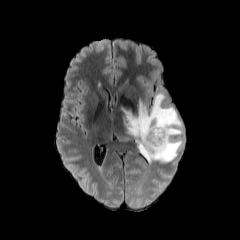
FLAIR MRI.
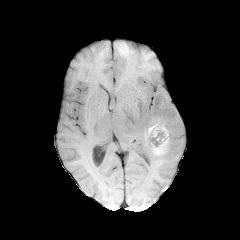
T1-weighted magnetic resonance of the same slice.
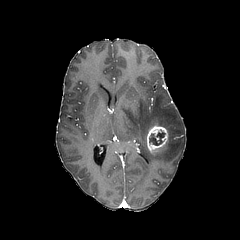
Same slice, post-contrast T1-weighted magnetic resonance.
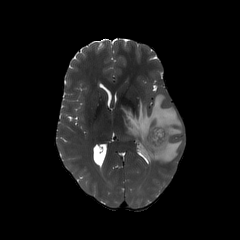
T2-weighted MR image.
Brain
peritumoral edema: bounding box (x1=124, y1=93, x2=183, y2=163)
enhancing tumor: bounding box (x1=146, y1=125, x2=168, y2=152)
necrotic tumor core: bounding box (x1=149, y1=132, x2=164, y2=145)